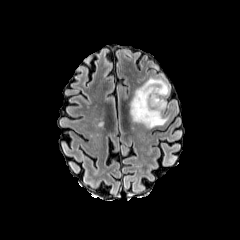
FLAIR MRI.
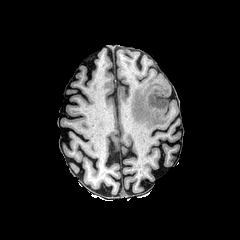
T1-weighted magnetic resonance.
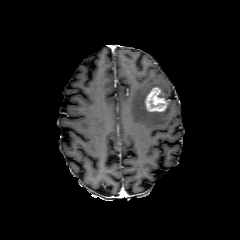
Post-contrast T1-weighted magnetic resonance.
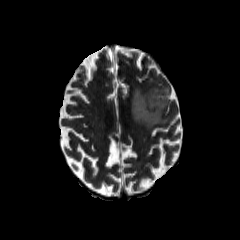
T2-weighted magnetic resonance of the same slice.
Axial slice, Brain
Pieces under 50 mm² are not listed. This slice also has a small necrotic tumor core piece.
peritumoral edema = 130 78 168 128
enhancing tumor = 144 87 168 111